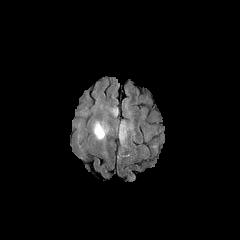
FLAIR MR image.
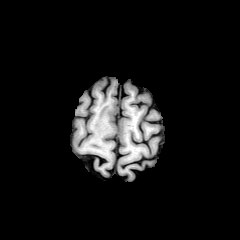
T1-weighted MR image.
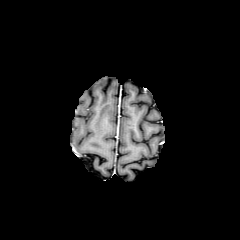
Post-contrast T1-weighted magnetic resonance.
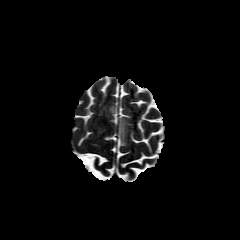
T2-weighted MR of the same slice.
Head
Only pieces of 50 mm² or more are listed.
peritumoral_edema:
  - left=95, top=123, right=104, bottom=138
  - left=121, top=121, right=125, bottom=140